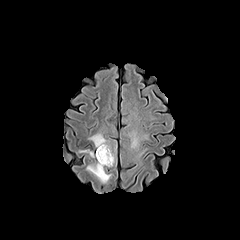
FLAIR MR.
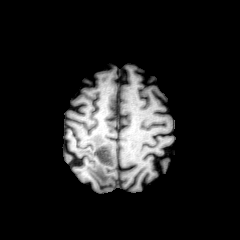
T1-weighted magnetic resonance of the same slice.
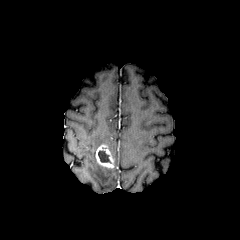
Post-contrast T1-weighted MRI.
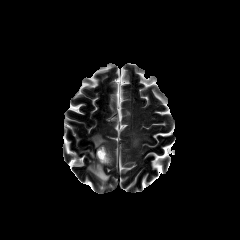
T2-weighted MR.
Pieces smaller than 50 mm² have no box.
necrotic_tumor_core:
  - x1=98 y1=151 x2=110 y2=162
peritumoral_edema:
  - x1=80 y1=150 x2=95 y2=157
  - x1=89 y1=133 x2=110 y2=150
  - x1=87 y1=162 x2=111 y2=183
enhancing_tumor:
  - x1=95 y1=144 x2=114 y2=167